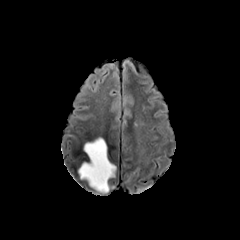
FLAIR MRI.
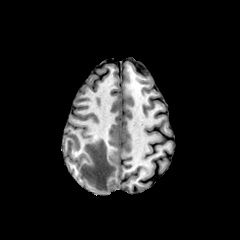
T1-weighted MRI.
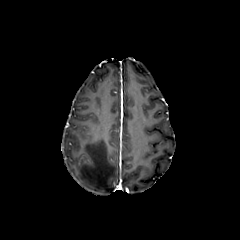
Post-contrast T1-weighted magnetic resonance of the same slice.
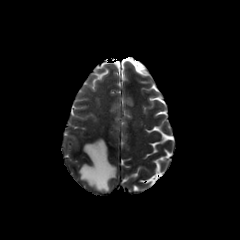
T2-weighted MRI.
<segmentation>
  <peritumoral_edema><bbox>78, 138, 115, 193</bbox></peritumoral_edema>
</segmentation>